FLAIR MR.
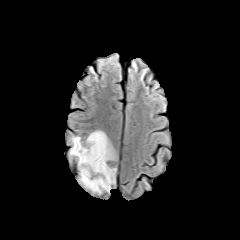
T1-weighted MRI.
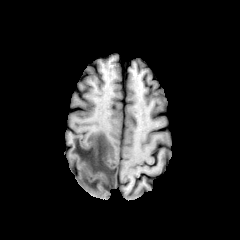
Post-contrast T1-weighted magnetic resonance.
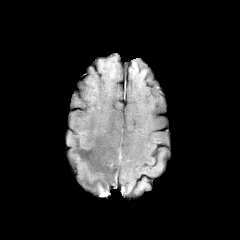
T2-weighted MRI.
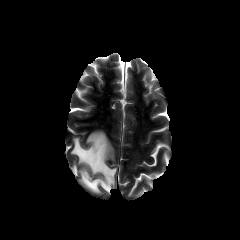
Axial view. 240x240 px.
The peritumoral edema is at {"x1": 70, "y1": 131, "x2": 116, "y2": 192}.